Brain | Image covers 240 mm x 240 mm | Axial plane
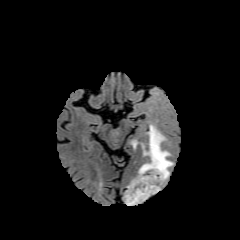
FLAIR MRI.
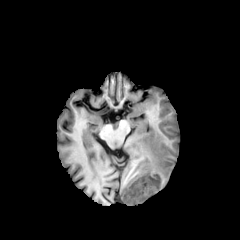
T1-weighted MRI.
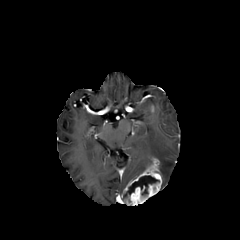
Post-contrast T1-weighted MRI.
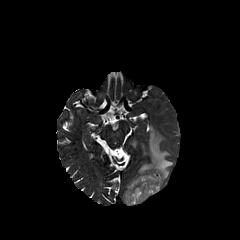
Same slice, T2-weighted magnetic resonance.
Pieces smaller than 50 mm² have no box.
The enhancing tumor appears at (left=123, top=157, right=162, bottom=205). The necrotic tumor core lies within (left=124, top=175, right=158, bottom=198). The 2 largest peritumoral edema regions are bounded by (left=138, top=161, right=151, bottom=175), (left=141, top=124, right=173, bottom=184).